240x240 | Brain
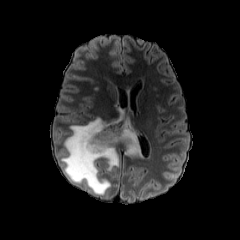
FLAIR MR.
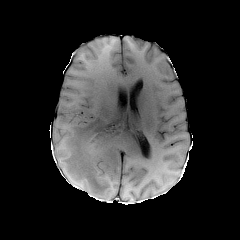
T1-weighted magnetic resonance of the same slice.
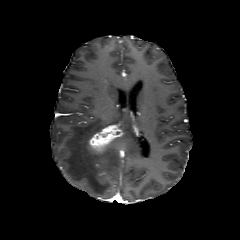
Post-contrast T1-weighted magnetic resonance of the same slice.
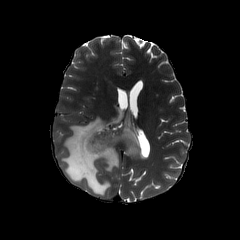
T2-weighted MRI.
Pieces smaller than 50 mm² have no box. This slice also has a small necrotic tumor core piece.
The enhancing tumor appears at bbox=[88, 125, 122, 152]. The peritumoral edema is at bbox=[61, 107, 140, 194].